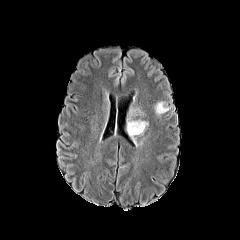
FLAIR MRI.
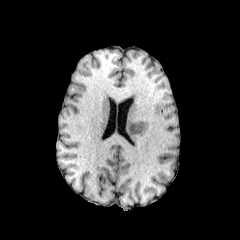
T1-weighted MRI.
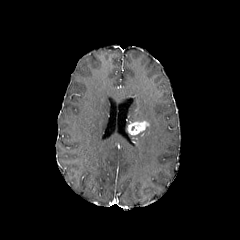
Post-contrast T1-weighted MR image.
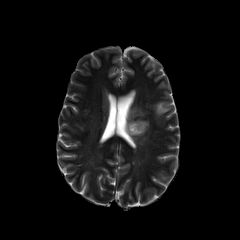
T2-weighted MR.
Axial slice, Head, 240x240 px
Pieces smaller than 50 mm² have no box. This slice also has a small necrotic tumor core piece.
<segmentation>
  <enhancing_tumor>l=127, t=121, r=148, b=135</enhancing_tumor>
  <peritumoral_edema>l=154, t=102, r=169, b=114; l=130, t=108, r=142, b=116</peritumoral_edema>
</segmentation>